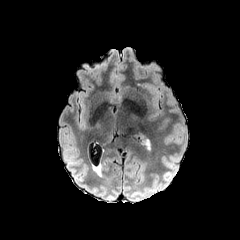
FLAIR MR image.
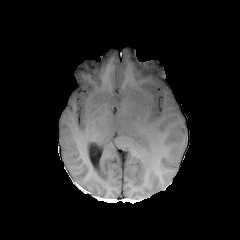
T1-weighted MR.
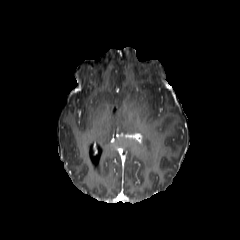
Same slice, post-contrast T1-weighted MR image.
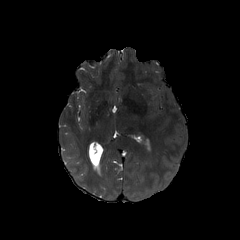
T2-weighted magnetic resonance.
Brain | Axial slice
peritumoral edema: x1=137, y1=133, x2=150, y2=150